FLAIR MR.
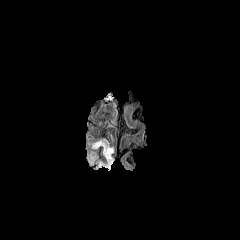
T1-weighted MR.
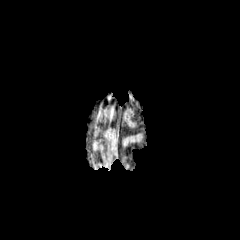
Post-contrast T1-weighted magnetic resonance.
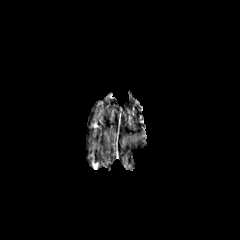
T2-weighted MR.
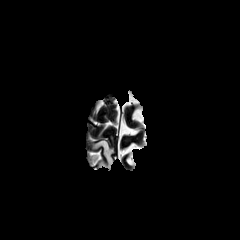
peritumoral edema — box(91, 139, 114, 167)